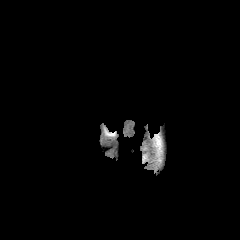
FLAIR MR.
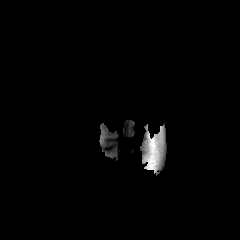
T1-weighted MR.
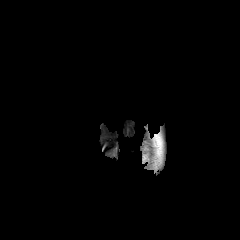
Same slice, post-contrast T1-weighted MR image.
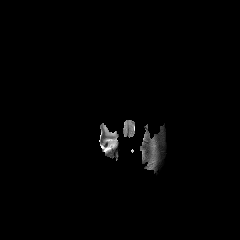
T2-weighted MR.
Brain
peritumoral edema: region(104, 128, 115, 136)